FLAIR MR image.
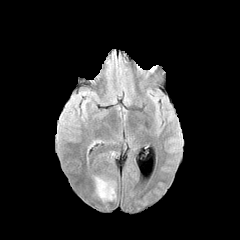
T1-weighted MR image.
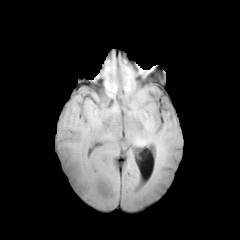
Post-contrast T1-weighted MRI.
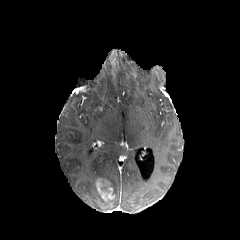
T2-weighted magnetic resonance.
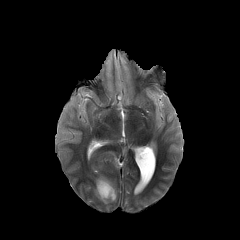
Brain; 240x240 px
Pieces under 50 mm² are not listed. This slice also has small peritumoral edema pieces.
enhancing tumor: [x1=96, y1=178, x2=114, y2=201]